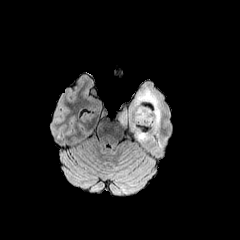
FLAIR MR image.
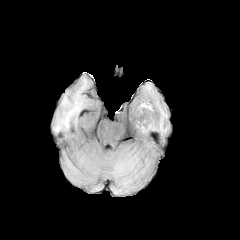
T1-weighted MR image of the same slice.
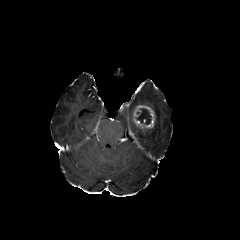
Post-contrast T1-weighted MRI.
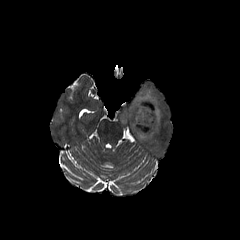
T2-weighted magnetic resonance of the same slice.
Brain | Axial plane
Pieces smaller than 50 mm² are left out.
necrotic_tumor_core:
  - l=137, t=108, r=151, b=124
enhancing_tumor:
  - l=132, t=105, r=156, b=129
peritumoral_edema:
  - l=132, t=122, r=152, b=141
  - l=129, t=88, r=161, b=131